FLAIR magnetic resonance.
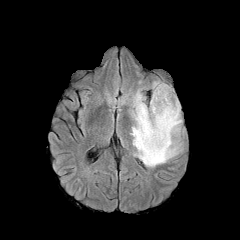
T1-weighted MR image.
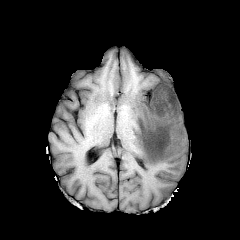
Post-contrast T1-weighted MRI.
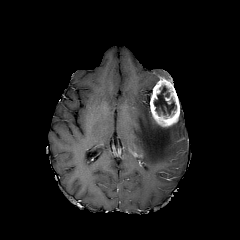
T2-weighted magnetic resonance.
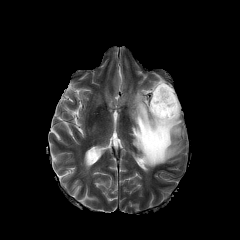
240x240 px.
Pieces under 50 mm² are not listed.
The largest peritumoral edema region appears at 130 89 183 167. The enhancing tumor is at 150 77 180 127. The largest necrotic tumor core region is located at 154 86 176 114.